FLAIR MR image.
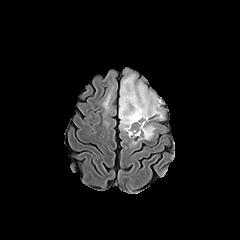
T1-weighted magnetic resonance.
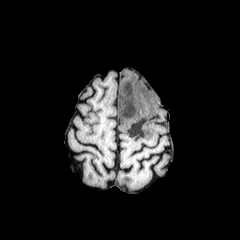
Post-contrast T1-weighted MR.
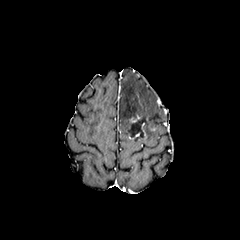
T2-weighted magnetic resonance.
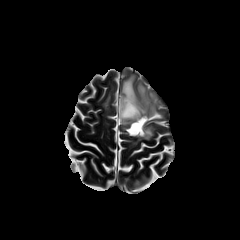
Image size 240x240.
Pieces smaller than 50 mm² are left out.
Annotated regions:
• peritumoral edema: [x1=145, y1=122, x2=154, y2=139], [x1=102, y1=92, x2=110, y2=111], [x1=119, y1=74, x2=163, y2=134]
• necrotic tumor core: [x1=128, y1=117, x2=147, y2=137], [x1=121, y1=87, x2=142, y2=118]
• enhancing tumor: [x1=129, y1=115, x2=141, y2=122]